FLAIR MR.
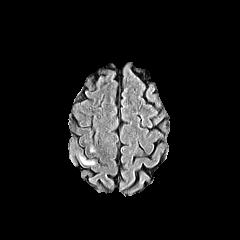
T1-weighted MRI.
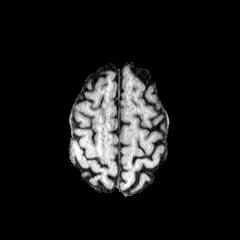
Post-contrast T1-weighted MR image.
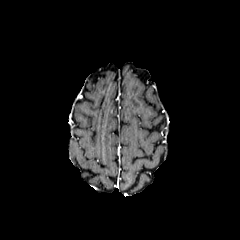
T2-weighted MRI.
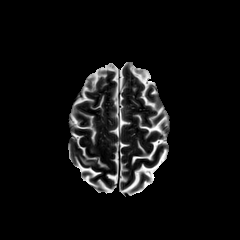
240x240 px | Brain
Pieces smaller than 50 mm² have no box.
peritumoral edema: rect(79, 154, 95, 166)